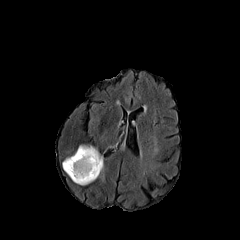
FLAIR MR.
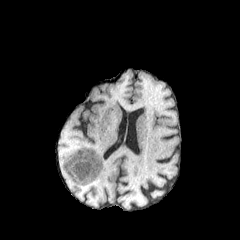
T1-weighted MRI.
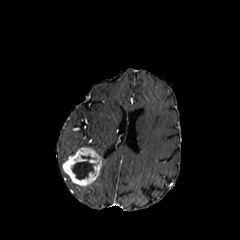
Same slice, post-contrast T1-weighted MR image.
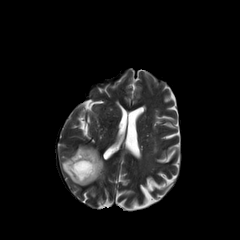
T2-weighted MR of the same slice.
240x240 px | Axial view
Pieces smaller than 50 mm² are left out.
necrotic tumor core at l=72, t=161, r=96, b=179
peritumoral edema at l=97, t=157, r=103, b=178
enhancing tumor at l=62, t=147, r=102, b=185